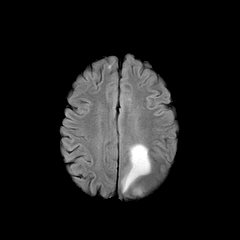
FLAIR MR.
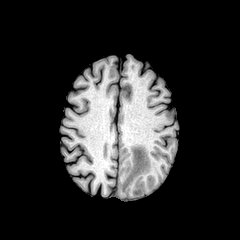
T1-weighted MR.
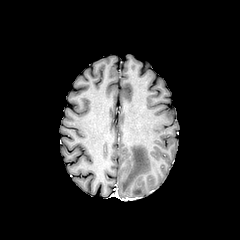
Post-contrast T1-weighted MR of the same slice.
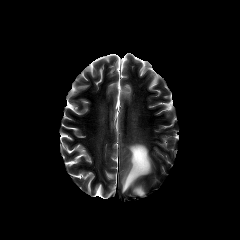
T2-weighted MR of the same slice.
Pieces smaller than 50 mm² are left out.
The largest peritumoral edema region appears at left=121, top=143, right=150, bottom=192.